240x240, Axial plane, Slice 127 of 155
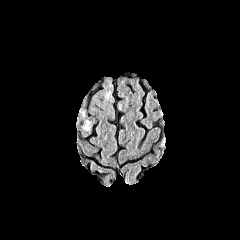
FLAIR MR image.
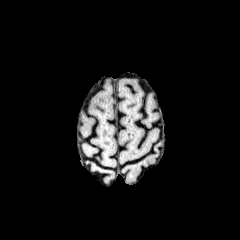
T1-weighted MR.
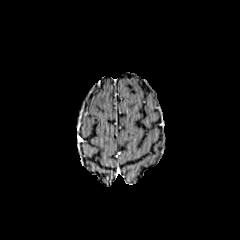
Same slice, post-contrast T1-weighted MR.
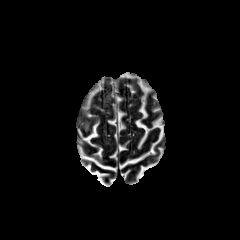
Same slice, T2-weighted magnetic resonance.
{
  "peritumoral_edema": [
    "84,121,89,130"
  ]
}